FLAIR magnetic resonance.
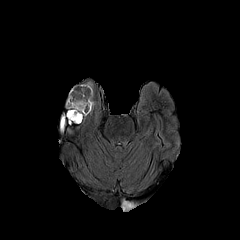
T1-weighted MR.
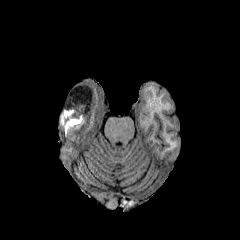
Post-contrast T1-weighted MR.
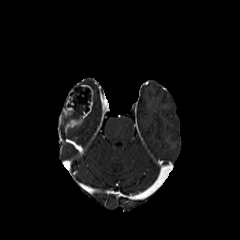
T2-weighted MR.
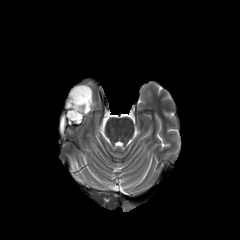
Brain
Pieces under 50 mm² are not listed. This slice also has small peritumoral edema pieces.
necrotic_tumor_core:
  - left=66, top=85, right=91, bottom=122
enhancing_tumor:
  - left=65, top=88, right=73, bottom=115
  - left=68, top=84, right=93, bottom=126